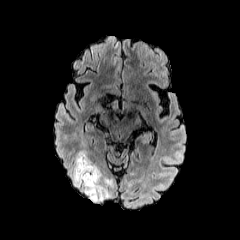
FLAIR MRI.
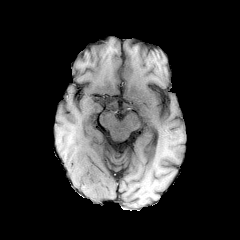
T1-weighted MR image.
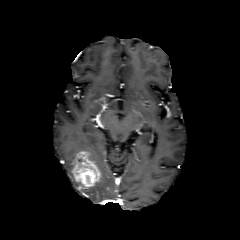
Post-contrast T1-weighted MR.
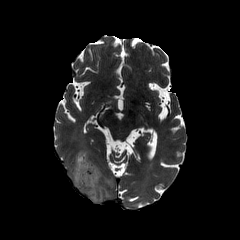
T2-weighted MRI.
Head, Axial view, 240x240
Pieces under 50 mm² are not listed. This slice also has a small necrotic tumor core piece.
The 2 largest peritumoral edema regions appear at [x1=70, y1=160, x2=79, y2=187], [x1=80, y1=182, x2=108, y2=203]. The enhancing tumor is at [x1=72, y1=151, x2=101, y2=188].